Head; Slice index 102
FLAIR MRI.
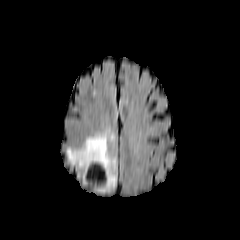
T1-weighted magnetic resonance.
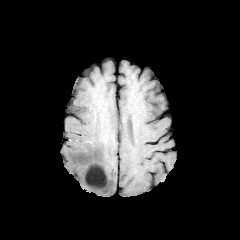
Post-contrast T1-weighted MR.
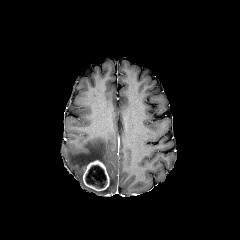
T2-weighted MR image.
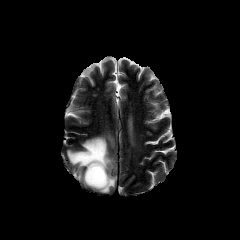
The enhancing tumor lies within {"x1": 83, "y1": 160, "x2": 109, "y2": 191}. The necrotic tumor core is at {"x1": 85, "y1": 165, "x2": 106, "y2": 188}. The peritumoral edema is located at {"x1": 66, "y1": 132, "x2": 116, "y2": 192}.